Brain, Slice 113/155, Image width 240 mm, 1.00 mm slice spacing
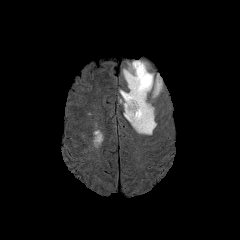
FLAIR magnetic resonance.
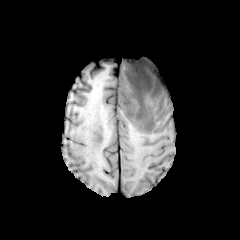
Same slice, T1-weighted magnetic resonance.
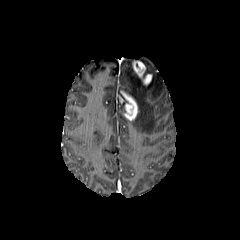
Post-contrast T1-weighted MR.
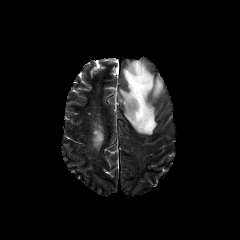
T2-weighted MR of the same slice.
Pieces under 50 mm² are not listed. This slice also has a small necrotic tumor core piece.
enhancing tumor: bounding box x1=132 y1=61 x2=151 y2=85, x1=120 y1=91 x2=137 y2=120
peritumoral edema: bounding box x1=122 y1=62 x2=162 y2=134